FLAIR magnetic resonance.
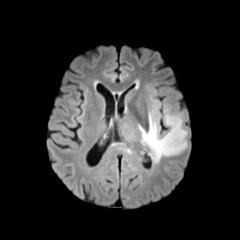
T1-weighted magnetic resonance.
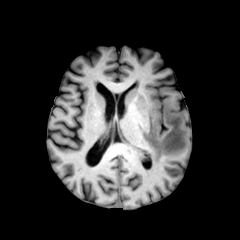
Post-contrast T1-weighted MR image.
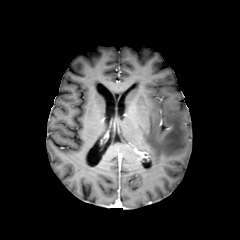
T2-weighted MRI.
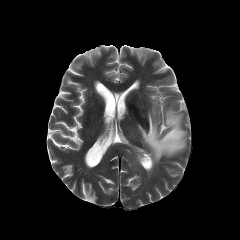
Brain | Image size 240x240
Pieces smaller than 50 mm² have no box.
The largest peritumoral edema region is bounded by x1=139, y1=109, x2=187, y2=162.